Axial slice | Image width 240 mm | Head | 240x240
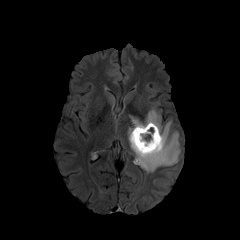
FLAIR MR image.
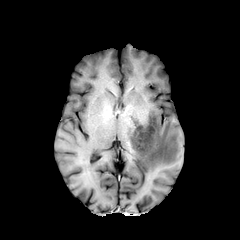
Same slice, T1-weighted MRI.
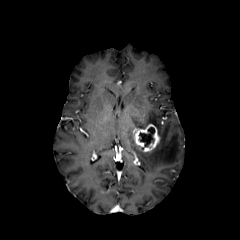
Post-contrast T1-weighted MR of the same slice.
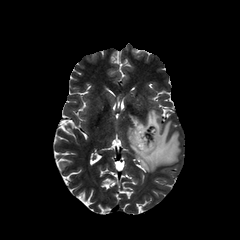
T2-weighted MR.
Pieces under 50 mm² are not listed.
peritumoral edema at (128,109,180,172)
enhancing tumor at (133,124,160,152)
necrotic tumor core at (139,127,154,146)